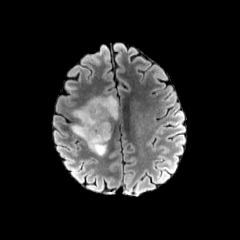
FLAIR MR image.
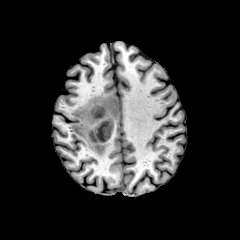
Same slice, T1-weighted MR image.
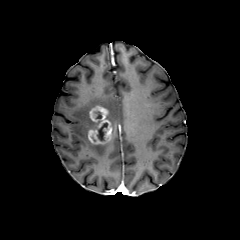
Same slice, post-contrast T1-weighted MR image.
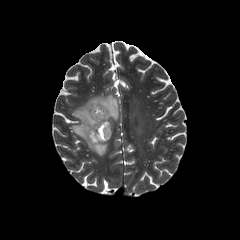
T2-weighted MRI.
Axial plane; Brain
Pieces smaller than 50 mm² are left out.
necrotic_tumor_core:
  - {"x1": 97, "y1": 123, "x2": 107, "y2": 140}
enhancing_tumor:
  - {"x1": 87, "y1": 105, "x2": 112, "y2": 144}
peritumoral_edema:
  - {"x1": 71, "y1": 95, "x2": 118, "y2": 155}